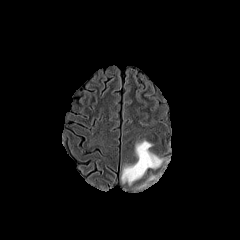
FLAIR MR image.
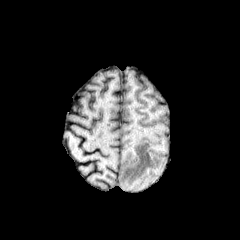
T1-weighted MR.
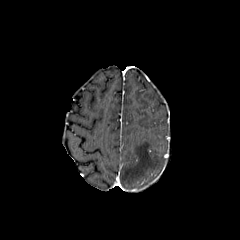
Post-contrast T1-weighted MR of the same slice.
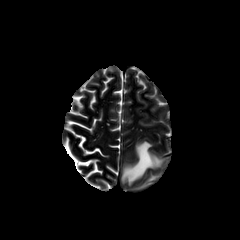
T2-weighted MR of the same slice.
240x240 px. Head.
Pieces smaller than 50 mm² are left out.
{"peritumoral_edema": ["x1=121, y1=141, x2=163, y2=184"]}